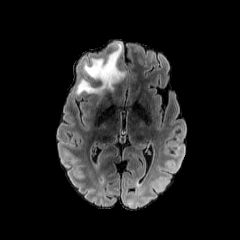
FLAIR MR image.
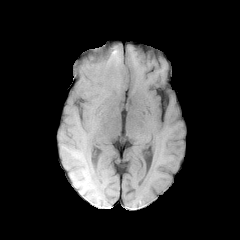
T1-weighted MR image.
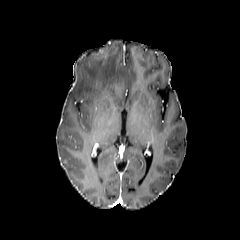
Post-contrast T1-weighted magnetic resonance.
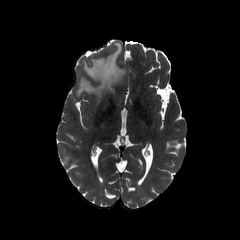
Same slice, T2-weighted MRI.
240x240 px. Axial view.
{
  "peritumoral_edema": [
    "<bbox>76, 43, 125, 96</bbox>"
  ]
}